FLAIR magnetic resonance.
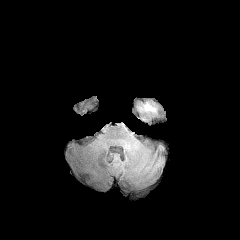
T1-weighted MRI.
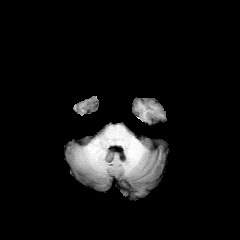
Post-contrast T1-weighted MRI.
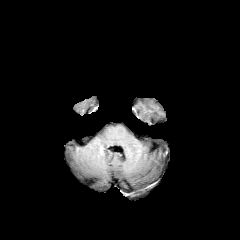
T2-weighted magnetic resonance.
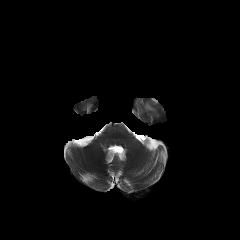
Brain, Axial plane
• peritumoral edema: (145, 103, 155, 111)